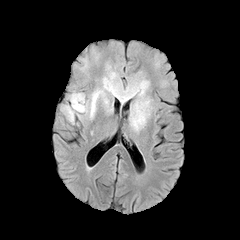
FLAIR MR.
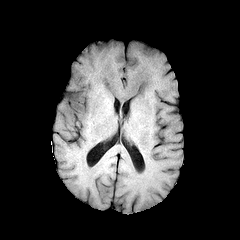
T1-weighted MRI.
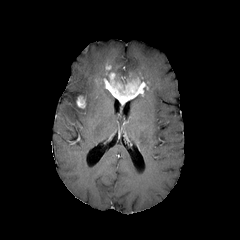
Post-contrast T1-weighted MR of the same slice.
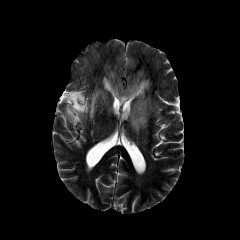
T2-weighted MRI.
Head | Axial slice
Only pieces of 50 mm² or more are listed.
The 2 largest enhancing tumor regions are bounded by (x1=103, y1=72, x2=148, y2=104), (x1=76, y1=95, x2=86, y2=108). The 3 largest peritumoral edema regions appear at (x1=128, y1=72, x2=150, y2=88), (x1=63, y1=70, x2=121, y2=123), (x1=129, y1=89, x2=152, y2=131).